Axial plane
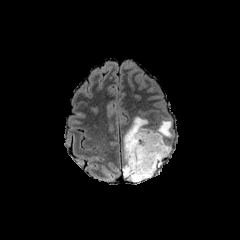
FLAIR MRI.
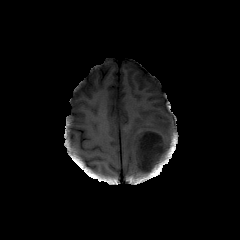
T1-weighted magnetic resonance.
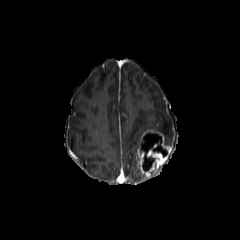
Post-contrast T1-weighted MR image.
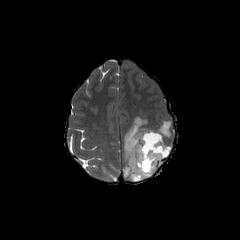
T2-weighted MR image.
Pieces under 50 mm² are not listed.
necrotic tumor core: bounding box bbox(140, 133, 167, 171)
peritumoral edema: bounding box bbox(154, 120, 173, 144); bbox(123, 116, 150, 181)
enhancing tumor: bounding box bbox(136, 129, 171, 178)